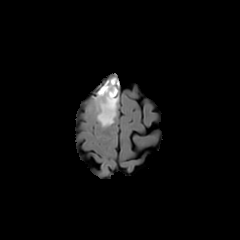
FLAIR MRI.
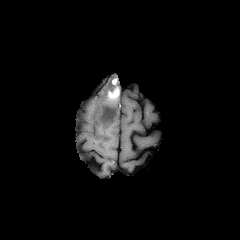
T1-weighted MR image of the same slice.
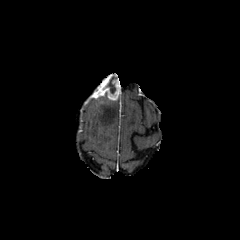
Post-contrast T1-weighted MR.
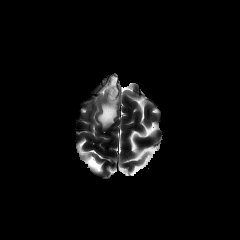
T2-weighted MR image.
240x240 px
necrotic tumor core: <box>108,78,115,93</box>
enhancing tumor: <box>94,78,119,104</box>
peritumoral edema: <box>95,98,118,127</box>